Brain.
FLAIR MR.
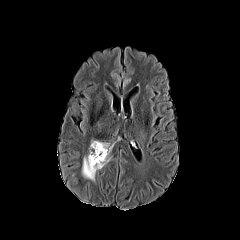
T1-weighted magnetic resonance.
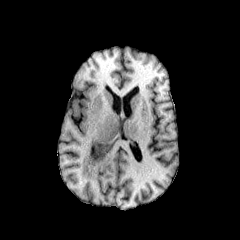
Post-contrast T1-weighted magnetic resonance.
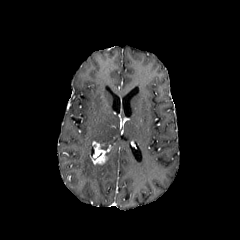
T2-weighted MR image.
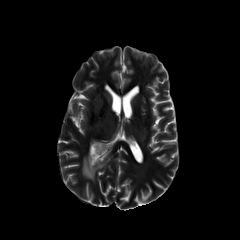
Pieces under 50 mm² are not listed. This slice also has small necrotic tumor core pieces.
The largest peritumoral edema region is bounded by box=[82, 151, 111, 180]. The enhancing tumor lies within box=[90, 141, 107, 164].